Axial slice
FLAIR MR image.
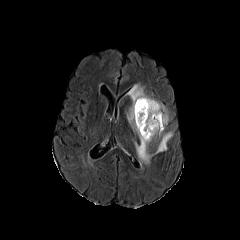
T1-weighted MR image.
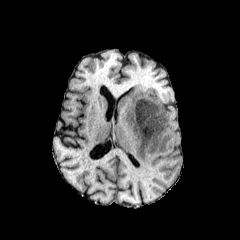
Post-contrast T1-weighted MR.
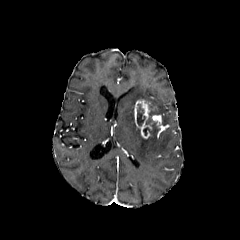
T2-weighted MRI.
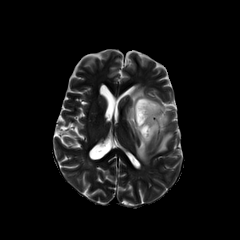
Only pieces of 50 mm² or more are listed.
necrotic tumor core = x1=137, y1=104, x2=145, y2=125
enhancing tumor = x1=134, y1=99, x2=165, y2=138
peritumoral edema = x1=154, y1=131, x2=172, y2=153; x1=126, y1=84, x2=168, y2=164